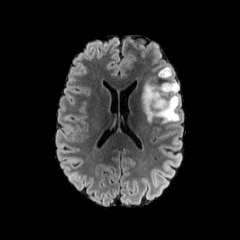
FLAIR magnetic resonance.
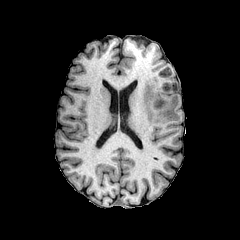
T1-weighted MR of the same slice.
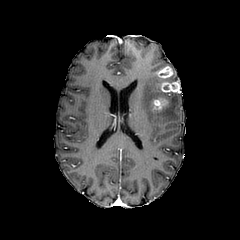
Post-contrast T1-weighted MR.
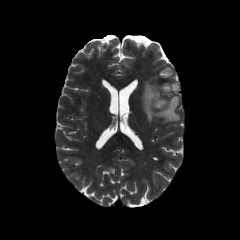
T2-weighted MRI.
Brain; 240x240; Axial slice
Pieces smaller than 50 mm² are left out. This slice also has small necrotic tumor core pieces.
peritumoral edema: x1=140 y1=80 x2=179 y2=124 | enhancing tumor: x1=161 y1=82 x2=179 y2=92, x1=150 y1=97 x2=168 y2=112, x1=158 y1=66 x2=172 y2=79